FLAIR MR image.
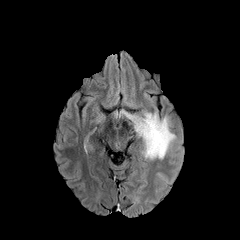
T1-weighted MRI.
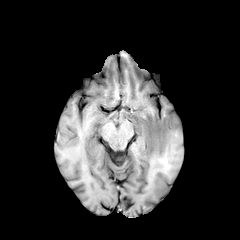
Post-contrast T1-weighted MR image.
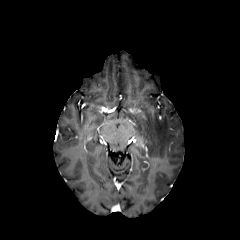
T2-weighted MR image.
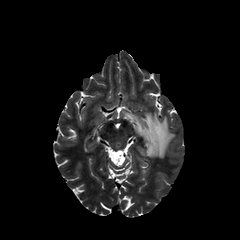
Brain
peritumoral_edema:
  - l=127, t=112, r=175, b=158